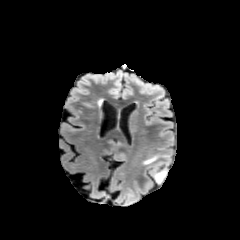
FLAIR magnetic resonance.
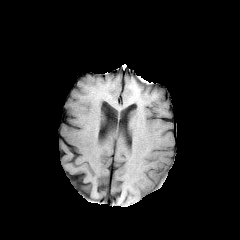
T1-weighted MRI.
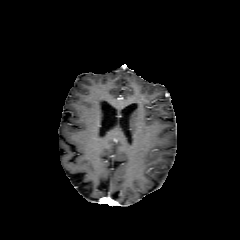
Same slice, post-contrast T1-weighted MR.
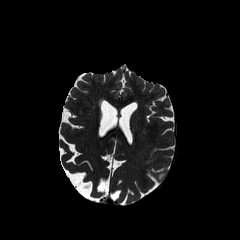
Same slice, T2-weighted MR image.
Head.
Annotated regions:
• peritumoral edema: 154:170:166:181, 143:155:157:164